FLAIR MR image.
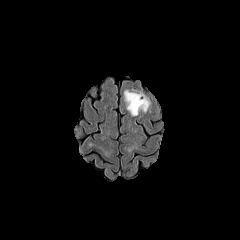
T1-weighted MRI.
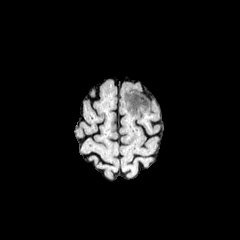
Post-contrast T1-weighted MR image.
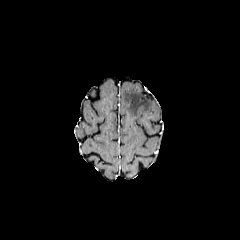
T2-weighted MRI.
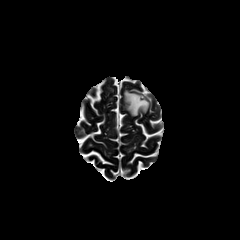
Head.
The peritumoral edema is located at 124:90:150:116.